240x240 px; Image width 240 mm, 1.00 mm slice spacing; Slice index 84
FLAIR MR.
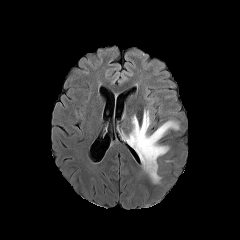
T1-weighted MRI.
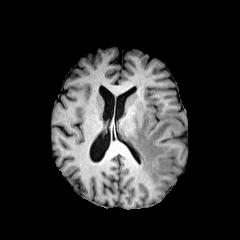
Post-contrast T1-weighted MR.
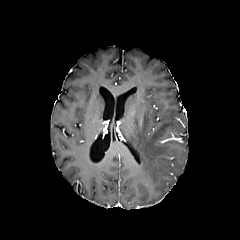
T2-weighted magnetic resonance.
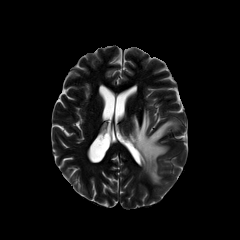
{"peritumoral_edema": ["rect(125, 110, 178, 183)"]}